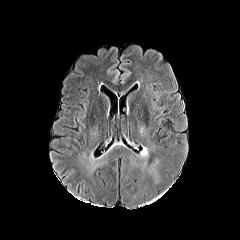
FLAIR magnetic resonance.
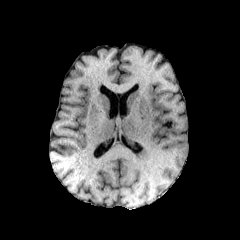
T1-weighted MR of the same slice.
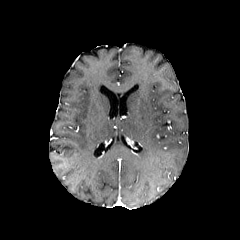
Post-contrast T1-weighted MRI.
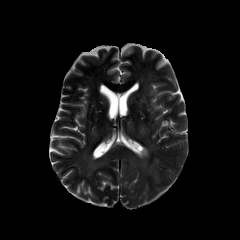
T2-weighted MR image.
Brain; Image size 240x240
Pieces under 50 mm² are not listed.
peritumoral_edema:
  - [139,147,148,157]